FLAIR MR.
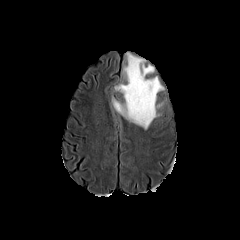
T1-weighted MR image.
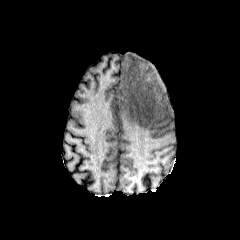
Post-contrast T1-weighted MR.
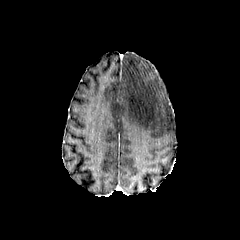
T2-weighted MR image.
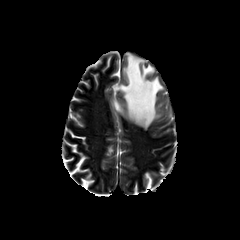
Axial plane; Head
Findings:
• peritumoral edema: [x1=112, y1=53, x2=163, y2=129]